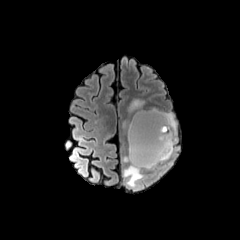
FLAIR magnetic resonance.
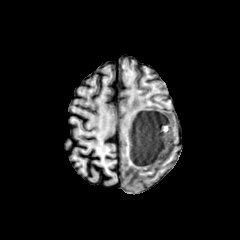
T1-weighted MRI.
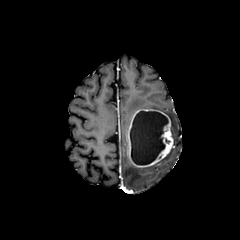
Post-contrast T1-weighted MRI.
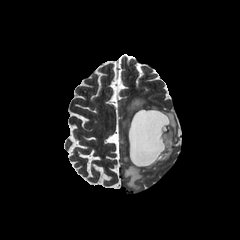
T2-weighted magnetic resonance.
Brain.
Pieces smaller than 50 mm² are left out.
{
  "necrotic_tumor_core": [
    "box(130, 111, 168, 164)"
  ],
  "peritumoral_edema": [
    "box(123, 163, 156, 190)",
    "box(122, 98, 144, 127)",
    "box(158, 148, 173, 162)",
    "box(164, 112, 177, 142)"
  ],
  "enhancing_tumor": [
    "box(127, 109, 173, 167)"
  ]
}